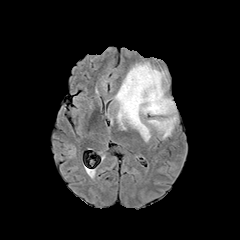
FLAIR MRI.
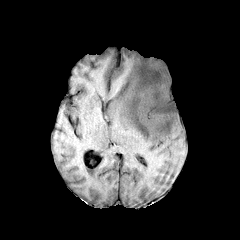
T1-weighted MR of the same slice.
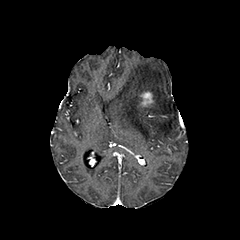
Same slice, post-contrast T1-weighted MR.
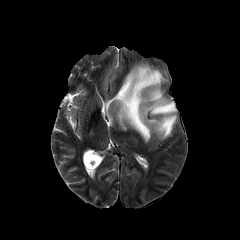
T2-weighted MR of the same slice.
Head, Axial plane
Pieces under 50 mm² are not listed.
peritumoral_edema:
  - [114,62,177,142]
enhancing_tumor:
  - [140,91,153,106]